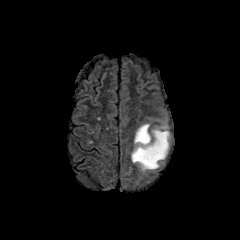
FLAIR MR.
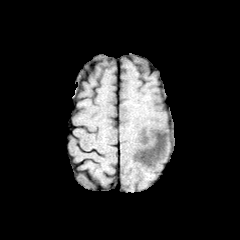
T1-weighted MRI.
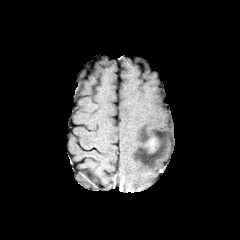
Same slice, post-contrast T1-weighted MRI.
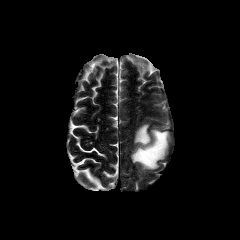
T2-weighted MR.
Head. Axial view. 240x240.
enhancing_tumor:
  - 147 138 159 152
peritumoral_edema:
  - 131 123 170 172